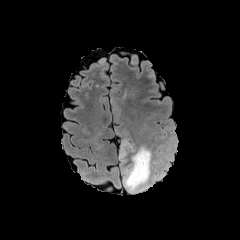
FLAIR MRI.
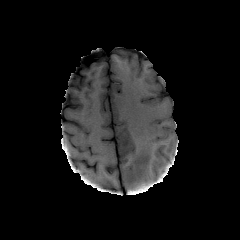
T1-weighted MR.
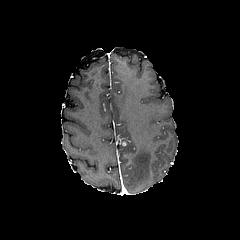
Post-contrast T1-weighted MRI of the same slice.
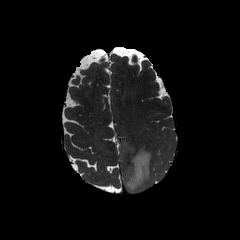
T2-weighted MRI.
Brain
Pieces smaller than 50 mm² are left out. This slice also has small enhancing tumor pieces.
peritumoral edema at l=119, t=139, r=162, b=192